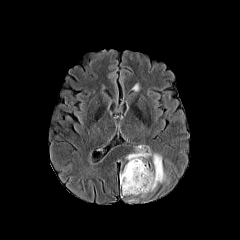
FLAIR magnetic resonance.
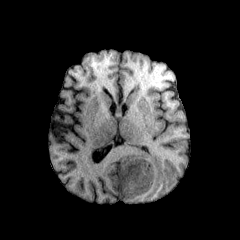
T1-weighted MRI of the same slice.
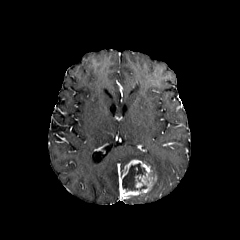
Post-contrast T1-weighted MR image.
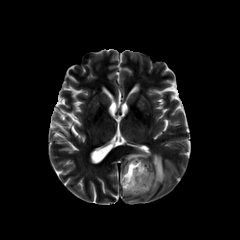
T2-weighted magnetic resonance of the same slice.
240x240
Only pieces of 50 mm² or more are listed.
The largest necrotic tumor core region is bounded by 122, 163, 145, 190. The largest enhancing tumor region is bounded by 119, 159, 156, 197. The largest peritumoral edema region is at 126, 149, 166, 191.